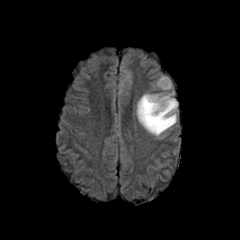
FLAIR MR image.
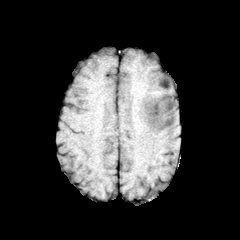
T1-weighted MR of the same slice.
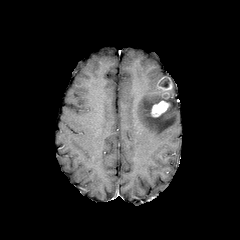
Post-contrast T1-weighted MRI.
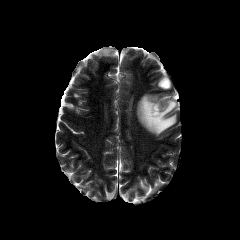
T2-weighted MRI.
Brain | 240x240 px | Axial view
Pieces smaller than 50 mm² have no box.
{
  "enhancing_tumor": [
    "rect(151, 100, 170, 117)",
    "rect(158, 76, 172, 91)"
  ],
  "peritumoral_edema": [
    "rect(136, 92, 177, 138)"
  ],
  "necrotic_tumor_core": [
    "rect(159, 78, 169, 87)"
  ]
}